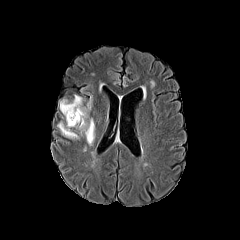
FLAIR MR.
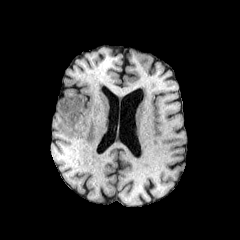
T1-weighted magnetic resonance of the same slice.
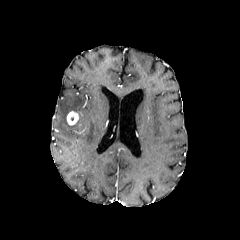
Same slice, post-contrast T1-weighted MR.
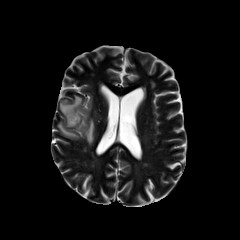
T2-weighted MR image.
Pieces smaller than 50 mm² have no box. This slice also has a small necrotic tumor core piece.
enhancing tumor at x1=67 y1=111 x2=78 y2=124
peritumoral edema at x1=58 y1=95 x2=94 y2=145